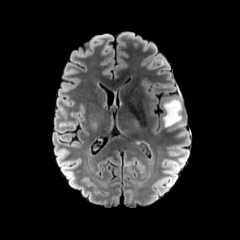
FLAIR MR.
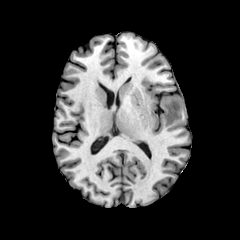
T1-weighted MR.
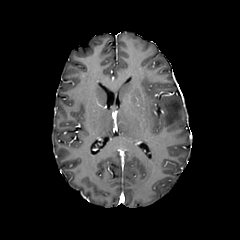
Post-contrast T1-weighted magnetic resonance.
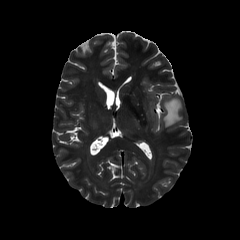
T2-weighted magnetic resonance.
Axial view. Image size 240x240.
<segmentation>
  <peritumoral_edema>163,98,181,127</peritumoral_edema>
</segmentation>